FLAIR MR.
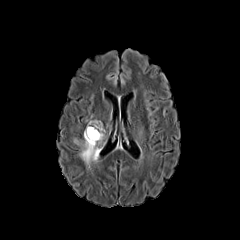
T1-weighted MR.
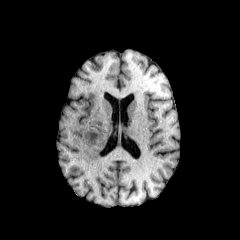
Post-contrast T1-weighted magnetic resonance.
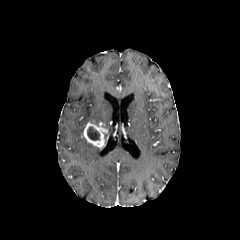
T2-weighted magnetic resonance.
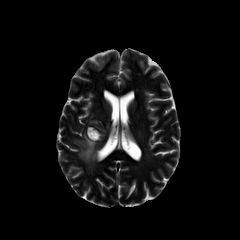
Image size 240x240; Head
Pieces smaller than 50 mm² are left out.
{"enhancing_tumor": [{"x1": 83, "y1": 121, "x2": 107, "y2": 148}], "necrotic_tumor_core": [{"x1": 87, "y1": 126, "x2": 100, "y2": 140}], "peritumoral_edema": [{"x1": 74, "y1": 139, "x2": 101, "y2": 166}]}